Head | Axial plane | Image covers 240 mm x 240 mm | Slice index 117 | 240x240
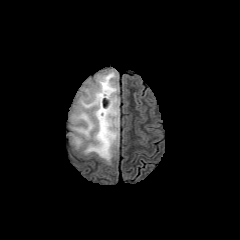
FLAIR MR image.
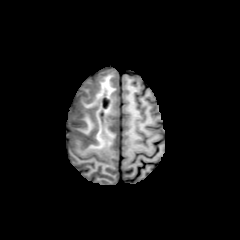
T1-weighted MR image.
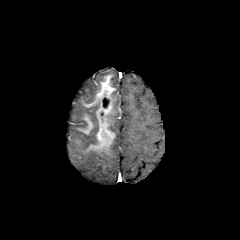
Post-contrast T1-weighted MR.
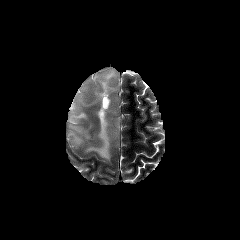
T2-weighted magnetic resonance of the same slice.
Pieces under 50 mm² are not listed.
Annotated regions:
- peritumoral edema: x1=68 y1=69 x2=119 y2=164
- enhancing tumor: x1=96 y1=94 x2=112 y2=127
- necrotic tumor core: x1=102 y1=97 x2=110 y2=108